FLAIR MR.
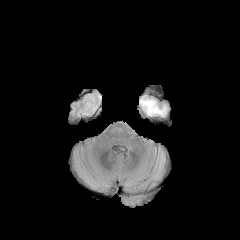
T1-weighted MR image.
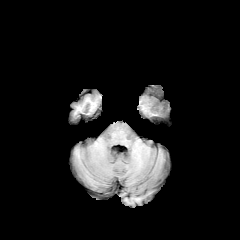
Post-contrast T1-weighted magnetic resonance.
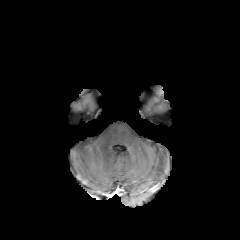
T2-weighted magnetic resonance.
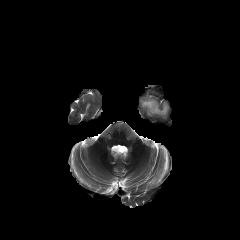
Head, Axial view
The peritumoral edema is at x1=140, y1=95, x2=168, y2=116.